Brain | Axial plane
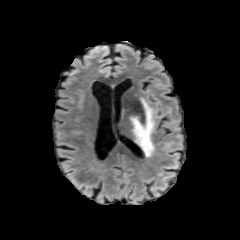
FLAIR MR.
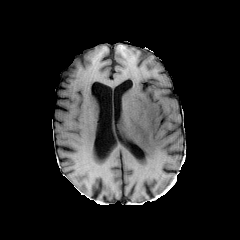
Same slice, T1-weighted magnetic resonance.
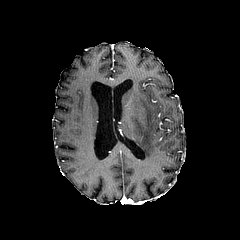
Post-contrast T1-weighted magnetic resonance.
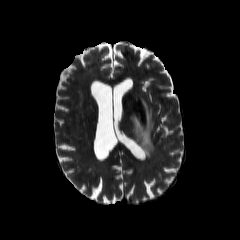
T2-weighted magnetic resonance.
Segmented structures:
* peritumoral edema: bbox(120, 98, 154, 157)